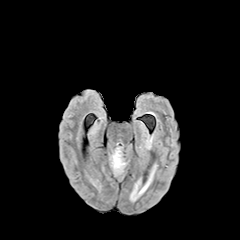
FLAIR MR.
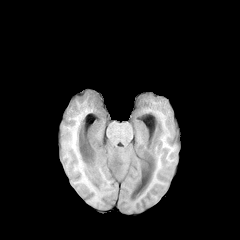
Same slice, T1-weighted MR image.
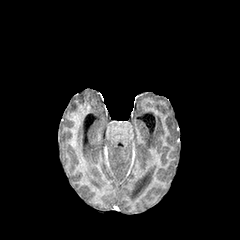
Post-contrast T1-weighted MRI.
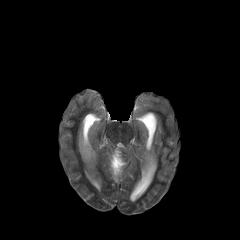
T2-weighted MRI.
Annotated regions:
• peritumoral edema: (left=110, top=148, right=126, bottom=175)